Head. Slice 68/155.
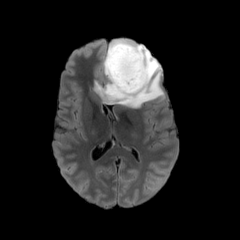
FLAIR magnetic resonance.
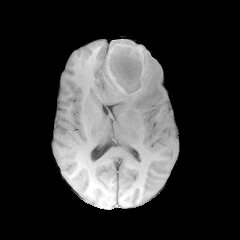
T1-weighted MR.
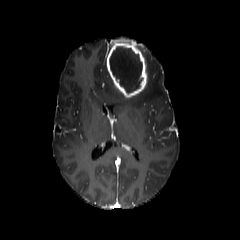
Post-contrast T1-weighted magnetic resonance.
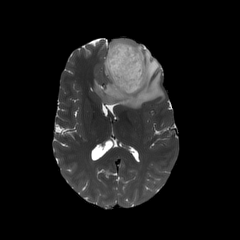
T2-weighted magnetic resonance.
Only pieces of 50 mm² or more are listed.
enhancing tumor = l=106, t=39, r=147, b=98
necrotic tumor core = l=109, t=46, r=142, b=92
peritumoral edema = l=93, t=44, r=164, b=108